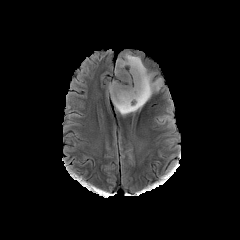
FLAIR MR image.
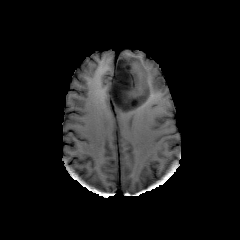
Same slice, T1-weighted MR image.
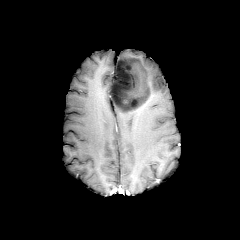
Post-contrast T1-weighted MR image.
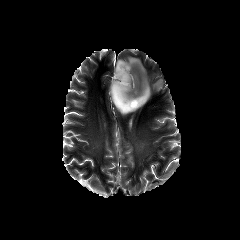
T2-weighted MR image.
Head; 240x240 px; Axial view
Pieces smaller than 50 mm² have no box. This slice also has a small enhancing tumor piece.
necrotic_tumor_core:
  - box=[110, 59, 149, 110]
peritumoral_edema:
  - box=[111, 53, 162, 115]